FLAIR magnetic resonance.
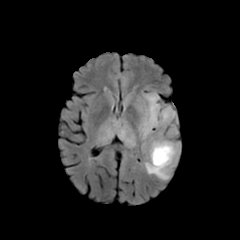
T1-weighted MR.
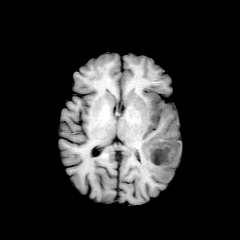
Post-contrast T1-weighted magnetic resonance.
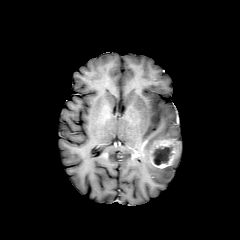
T2-weighted magnetic resonance.
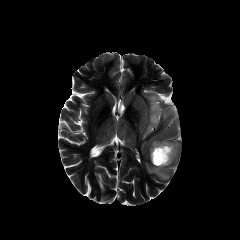
Axial slice, Brain
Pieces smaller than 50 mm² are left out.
The necrotic tumor core is bounded by (x1=153, y1=146, x2=172, y2=165). The largest enhancing tumor region lies within (x1=150, y1=139, x2=179, y2=168). The 3 largest peritumoral edema regions appear at (x1=168, y1=126, x2=177, y2=135), (x1=139, y1=91, x2=176, y2=139), (x1=144, y1=133, x2=178, y2=180).